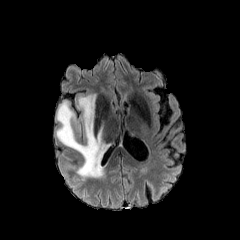
FLAIR MRI.
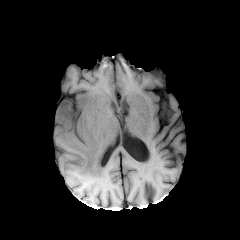
T1-weighted MR.
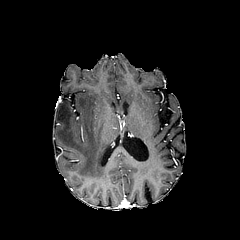
Post-contrast T1-weighted MR image of the same slice.
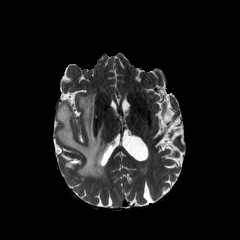
Same slice, T2-weighted MR.
peritumoral edema = 57, 93, 111, 179